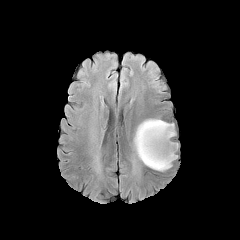
FLAIR MR image.
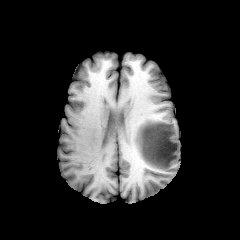
Same slice, T1-weighted MRI.
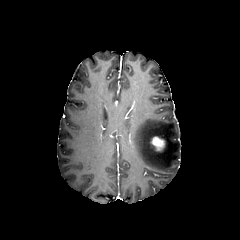
Post-contrast T1-weighted magnetic resonance of the same slice.
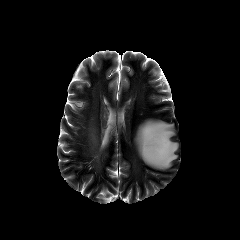
T2-weighted MR.
Axial slice.
peritumoral_edema:
  - region(134, 119, 178, 170)
enhancing_tumor:
  - region(151, 136, 164, 150)